FLAIR MR image.
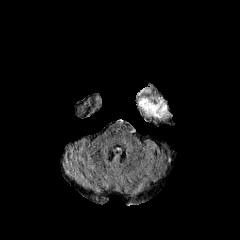
T1-weighted MR.
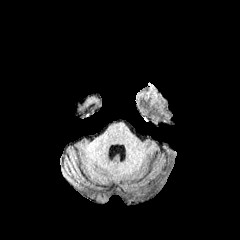
Post-contrast T1-weighted magnetic resonance.
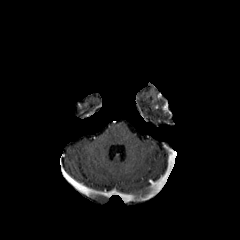
T2-weighted magnetic resonance.
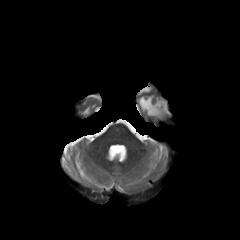
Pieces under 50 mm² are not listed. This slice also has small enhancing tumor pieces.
peritumoral edema: bounding box {"x1": 139, "y1": 96, "x2": 165, "y2": 118}